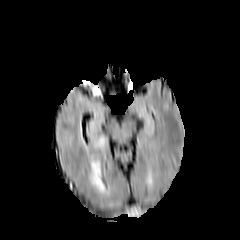
FLAIR magnetic resonance.
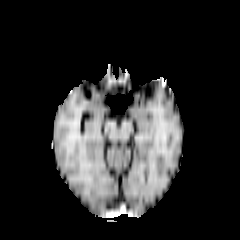
T1-weighted magnetic resonance.
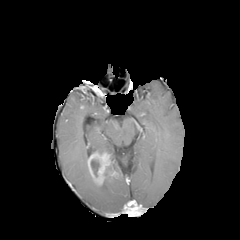
Post-contrast T1-weighted MRI of the same slice.
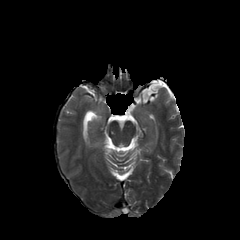
Same slice, T2-weighted magnetic resonance.
Head.
{"peritumoral_edema": ["(x1=90, y1=174, x2=105, y2=192)", "(x1=94, y1=138, x2=107, y2=151)"], "enhancing_tumor": ["(x1=88, y1=152, x2=110, y2=184)"], "necrotic_tumor_core": ["(x1=91, y1=159, x2=100, y2=176)"]}